FLAIR MR image.
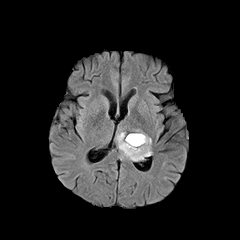
T1-weighted MR image.
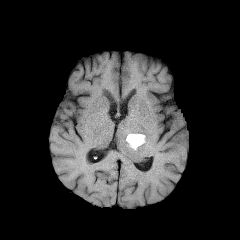
Post-contrast T1-weighted MR.
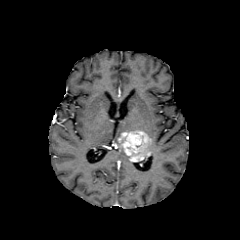
T2-weighted magnetic resonance.
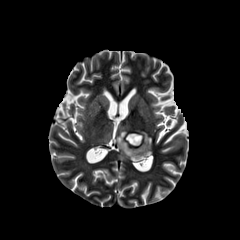
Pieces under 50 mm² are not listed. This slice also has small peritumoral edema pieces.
enhancing tumor = (left=118, top=132, right=151, bottom=161)